Image size 240x240; Slice 98 of 155; Axial slice
FLAIR MR.
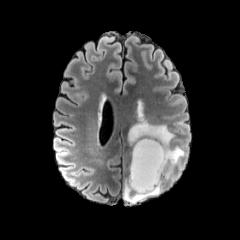
T1-weighted MRI.
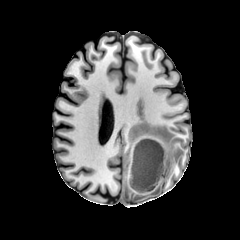
Post-contrast T1-weighted MRI.
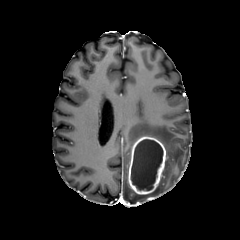
T2-weighted MRI.
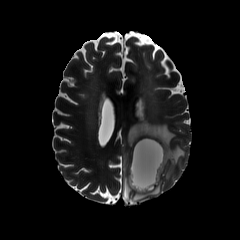
peritumoral edema: (left=123, top=176, right=162, bottom=203), (left=128, top=119, right=185, bottom=178)
necrotic tumor core: (left=131, top=139, right=163, bottom=190)
enhancing tumor: (left=128, top=136, right=167, bottom=195)